FLAIR MRI.
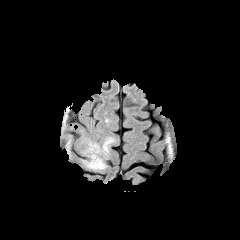
T1-weighted MRI.
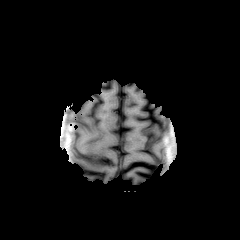
Post-contrast T1-weighted MR image.
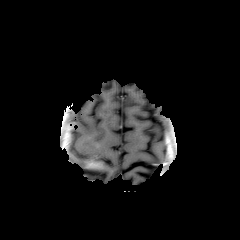
T2-weighted MRI.
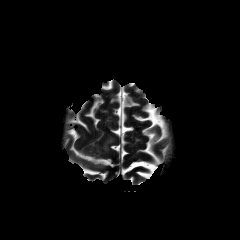
Axial view; Brain; Image size 240x240
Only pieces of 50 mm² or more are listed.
The largest peritumoral edema region is bounded by l=84, t=137, r=114, b=169. The enhancing tumor lies within l=87, t=160, r=102, b=168.